FLAIR MR.
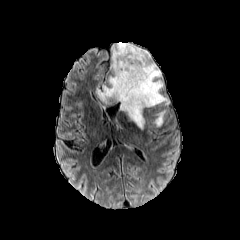
T1-weighted MRI.
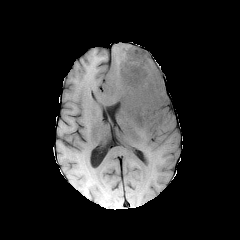
Post-contrast T1-weighted MR.
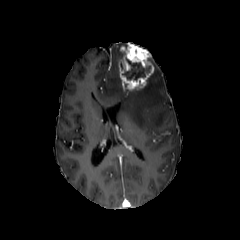
T2-weighted MRI.
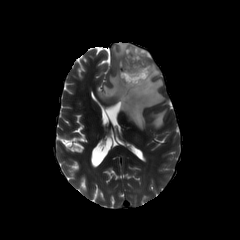
Brain
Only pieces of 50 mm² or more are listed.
peritumoral edema: bounding box x1=152 y1=110 x2=166 y2=127, x1=97 y1=47 x2=168 y2=129
enhancing tumor: bounding box x1=118 y1=42 x2=154 y2=91
necrotic tumor core: bounding box x1=123 y1=58 x2=150 y2=79